FLAIR MR.
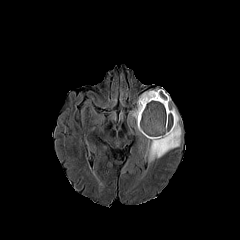
T1-weighted MR image.
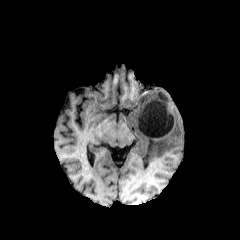
Post-contrast T1-weighted MR.
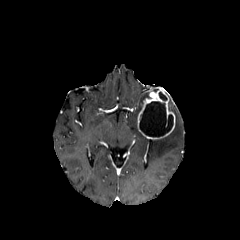
T2-weighted MR.
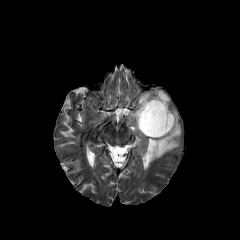
Head | Axial plane
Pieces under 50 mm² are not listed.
peritumoral edema: <box>128,92,150,125</box>, <box>145,106,181,162</box>
enhancing tumor: <box>137,89,175,139</box>
necrotic tumor core: <box>139,101,173,136</box>, <box>159,92,167,100</box>